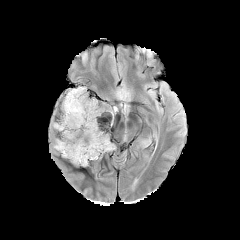
FLAIR MR.
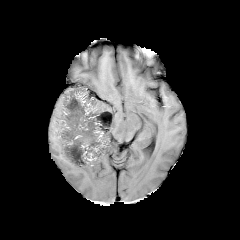
T1-weighted magnetic resonance.
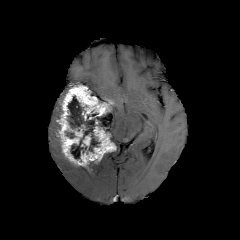
Same slice, post-contrast T1-weighted MR.
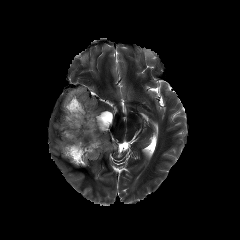
T2-weighted magnetic resonance.
Axial view, Image size 240x240
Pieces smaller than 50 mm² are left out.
Segmented structures:
• peritumoral edema: (54,139,61,152)
• necrotic tumor core: (67,96,100,159), (95,112,111,131)
• enhancing tumor: (58,85,116,166)